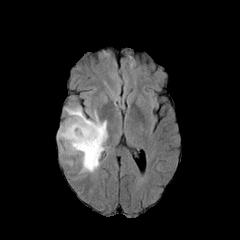
FLAIR MR image.
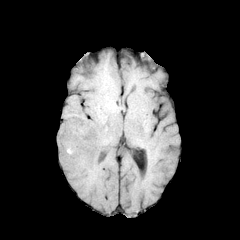
T1-weighted MR.
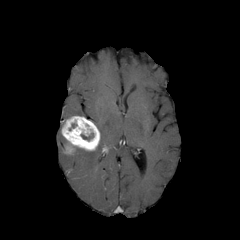
Post-contrast T1-weighted magnetic resonance.
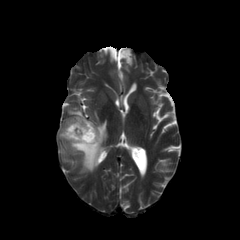
Same slice, T2-weighted MR.
Axial plane; Brain
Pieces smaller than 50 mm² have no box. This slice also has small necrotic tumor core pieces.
- enhancing tumor: [61,116,100,154]
- peritumoral edema: [65,107,83,116], [67,110,107,173], [57,126,66,154]